Brain. Slice 69/155.
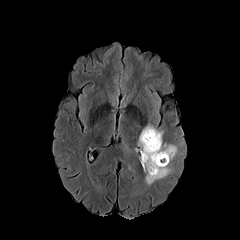
FLAIR MR image.
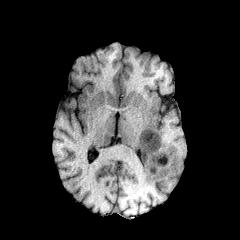
T1-weighted magnetic resonance.
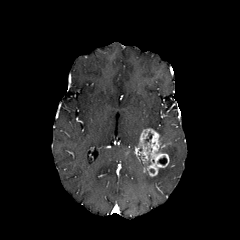
Post-contrast T1-weighted MR.
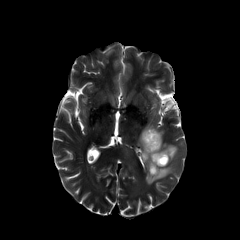
T2-weighted magnetic resonance of the same slice.
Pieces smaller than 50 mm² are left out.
3 peritumoral edema regions appear at {"x1": 145, "y1": 166, "x2": 172, "y2": 184}, {"x1": 161, "y1": 144, "x2": 177, "y2": 161}, {"x1": 144, "y1": 124, "x2": 163, "y2": 142}. The largest enhancing tumor region is located at {"x1": 135, "y1": 128, "x2": 169, "y2": 176}. The largest necrotic tumor core region lies within {"x1": 158, "y1": 157, "x2": 166, "y2": 164}.